Brain; Slice index 94; Image covers 240 mm x 240 mm; 240x240 px
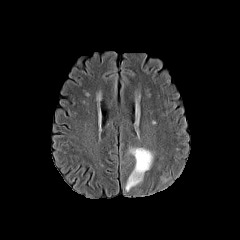
FLAIR MRI.
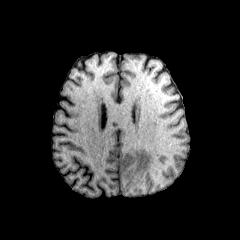
T1-weighted magnetic resonance.
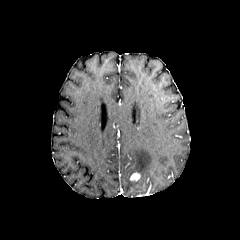
Post-contrast T1-weighted MR.
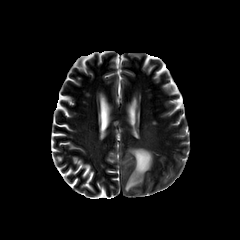
T2-weighted magnetic resonance of the same slice.
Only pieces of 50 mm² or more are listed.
The largest peritumoral edema region is at 125, 148, 153, 191. The enhancing tumor is located at 130, 172, 140, 181.